Slice index 70
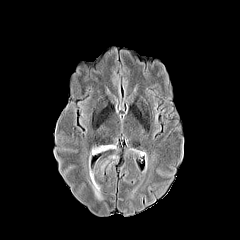
FLAIR MRI.
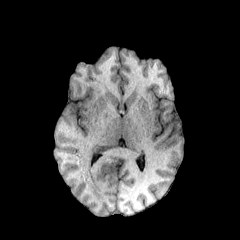
T1-weighted MR image.
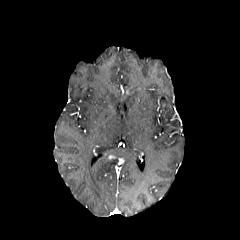
Same slice, post-contrast T1-weighted magnetic resonance.
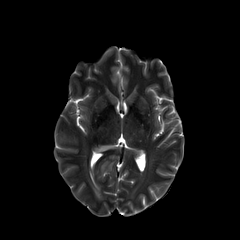
T2-weighted MR image.
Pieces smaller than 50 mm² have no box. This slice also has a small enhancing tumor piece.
peritumoral_edema:
  - (89,145,119,200)